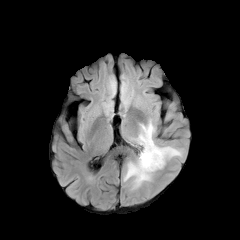
FLAIR MR image.
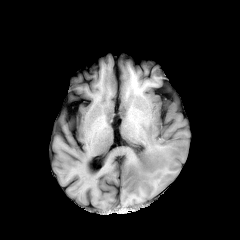
T1-weighted MR of the same slice.
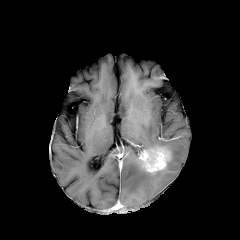
Post-contrast T1-weighted MRI of the same slice.
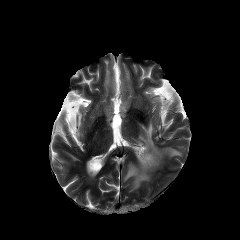
T2-weighted MR of the same slice.
peritumoral edema: [124,157,152,189], [137,121,159,149], [160,147,181,158] | enhancing tumor: [139,148,170,172]